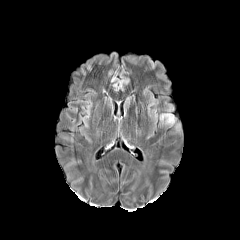
FLAIR MRI.
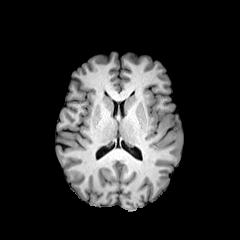
Same slice, T1-weighted MR image.
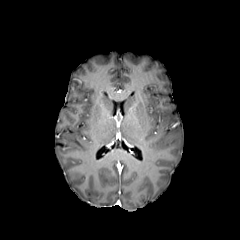
Post-contrast T1-weighted MR image.
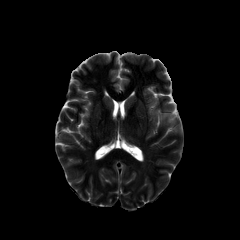
T2-weighted MR of the same slice.
Axial slice; Head
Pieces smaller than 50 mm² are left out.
peritumoral edema at 161,113,175,124